Axial plane.
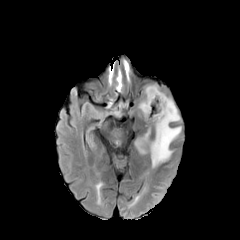
FLAIR MR.
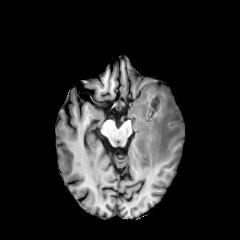
T1-weighted MR.
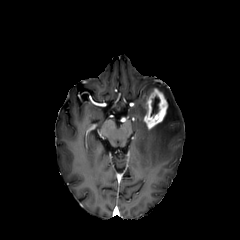
Same slice, post-contrast T1-weighted MR image.
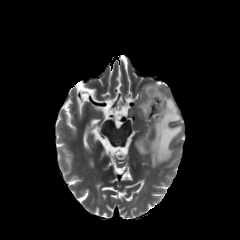
T2-weighted MR image.
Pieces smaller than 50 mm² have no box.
Segmented structures:
* necrotic tumor core: (left=151, top=96, right=159, bottom=116)
* peritumoral edema: (left=135, top=130, right=150, bottom=153), (left=145, top=85, right=159, bottom=98), (left=138, top=99, right=146, bottom=115), (left=150, top=94, right=181, bottom=167)
* enhancing tumor: (left=144, top=88, right=167, bottom=129)